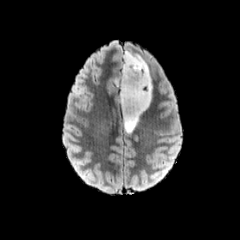
FLAIR MR.
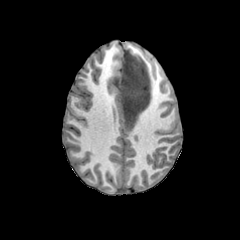
T1-weighted magnetic resonance.
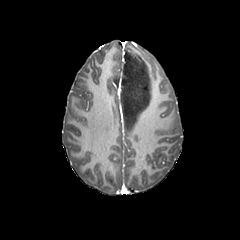
Post-contrast T1-weighted MRI.
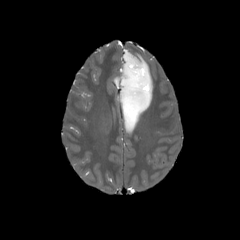
Same slice, T2-weighted magnetic resonance.
240x240
peritumoral_edema:
  - x1=114, y1=50, x2=152, y2=132